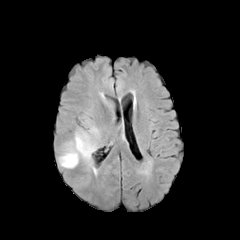
FLAIR MRI.
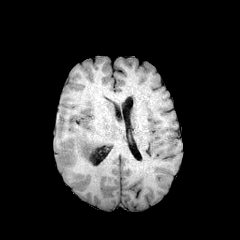
Same slice, T1-weighted MR image.
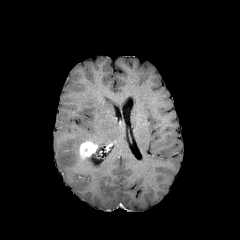
Same slice, post-contrast T1-weighted MR.
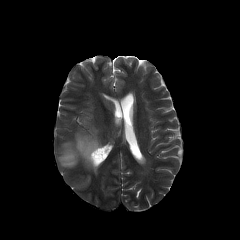
Same slice, T2-weighted MRI.
Brain | Axial plane | Image size 240x240
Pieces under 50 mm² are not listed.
Annotated regions:
- enhancing tumor: region(79, 140, 98, 158)
- peritumoral edema: region(82, 157, 91, 166); region(58, 127, 98, 168)